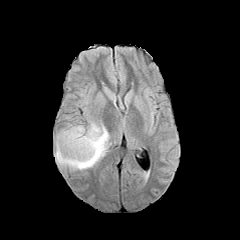
FLAIR MR image.
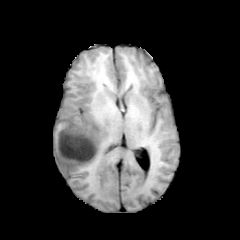
T1-weighted MR image.
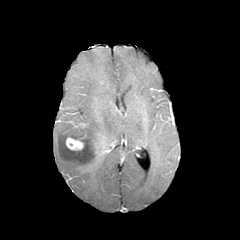
Post-contrast T1-weighted MR image of the same slice.
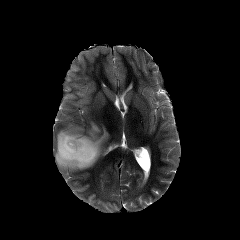
Same slice, T2-weighted MRI.
Brain. 240x240 px.
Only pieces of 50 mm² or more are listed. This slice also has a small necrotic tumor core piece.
The enhancing tumor is located at [66,137,83,150]. The peritumoral edema lies within [54,121,109,171].